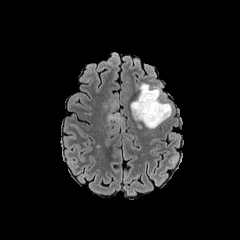
FLAIR MR image.
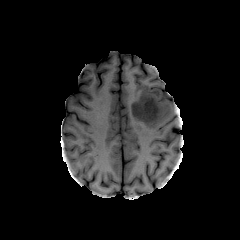
Same slice, T1-weighted MR.
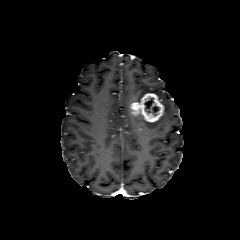
Post-contrast T1-weighted magnetic resonance.
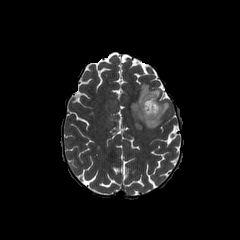
T2-weighted magnetic resonance of the same slice.
Head, Axial view
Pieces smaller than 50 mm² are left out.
<segmentation>
  <necrotic_tumor_core><bbox>152, 105, 159, 115</bbox>, <bbox>144, 97, 153, 112</bbox></necrotic_tumor_core>
  <peritumoral_edema><bbox>134, 83, 160, 101</bbox>, <bbox>133, 102, 171, 128</bbox></peritumoral_edema>
  <enhancing_tumor><bbox>130, 93, 164, 122</bbox></enhancing_tumor>
</segmentation>